FLAIR MRI.
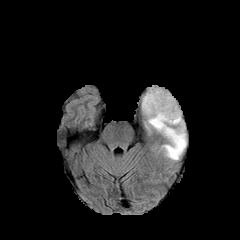
T1-weighted MR image.
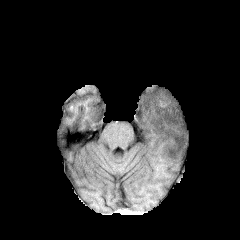
Post-contrast T1-weighted MRI.
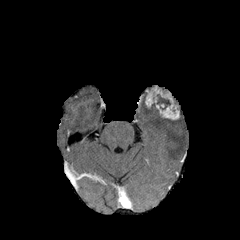
T2-weighted MRI.
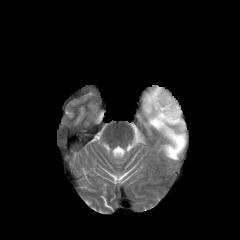
Head
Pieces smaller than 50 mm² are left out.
necrotic tumor core — (157,94,170,109)
peritumoral edema — (142,93,186,160)
enhancing tumor — (145,86,179,120)